Axial view
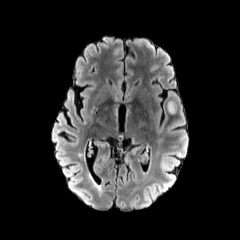
FLAIR MR.
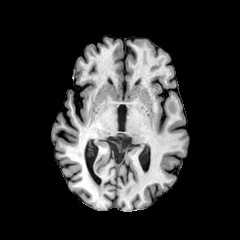
T1-weighted MR image.
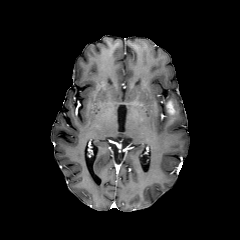
Same slice, post-contrast T1-weighted MRI.
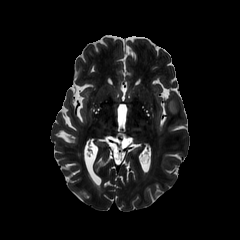
T2-weighted magnetic resonance of the same slice.
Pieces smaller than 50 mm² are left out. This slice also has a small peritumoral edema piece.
Findings:
• enhancing tumor: <bbox>166, 99, 176, 115</bbox>